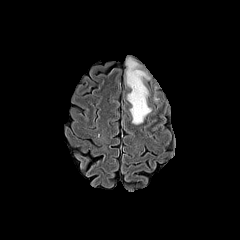
FLAIR MRI.
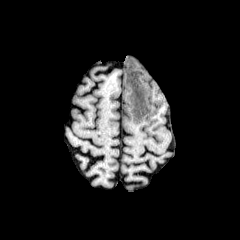
T1-weighted MRI of the same slice.
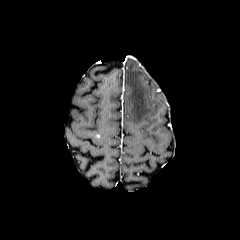
Post-contrast T1-weighted magnetic resonance.
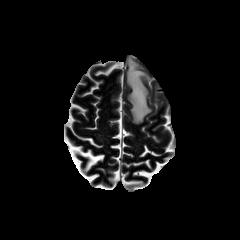
T2-weighted MR of the same slice.
Axial slice
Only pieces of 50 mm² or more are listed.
The largest peritumoral edema region is bounded by bbox(126, 58, 151, 124).